Axial view; Image width 240 mm
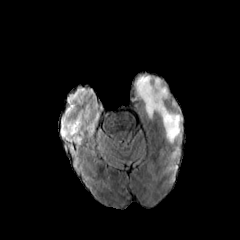
FLAIR magnetic resonance.
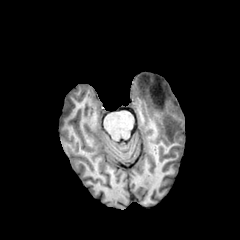
T1-weighted MR image.
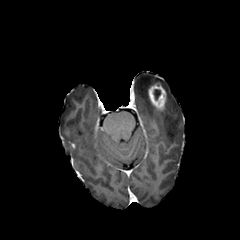
Same slice, post-contrast T1-weighted magnetic resonance.
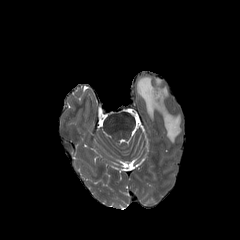
T2-weighted MR.
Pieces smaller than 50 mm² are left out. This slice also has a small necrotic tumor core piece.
enhancing tumor — region(148, 81, 166, 111)
peritumoral edema — region(136, 75, 181, 142)